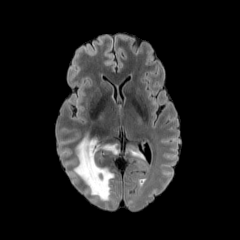
FLAIR magnetic resonance.
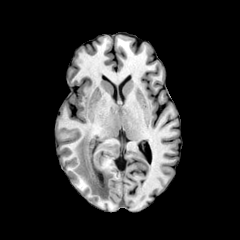
T1-weighted MRI of the same slice.
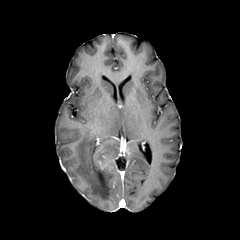
Same slice, post-contrast T1-weighted MRI.
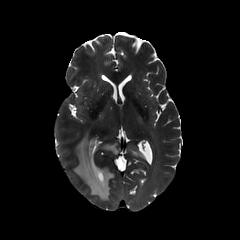
T2-weighted magnetic resonance of the same slice.
240x240; Brain
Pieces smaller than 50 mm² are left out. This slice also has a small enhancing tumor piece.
The 2 largest peritumoral edema regions are located at (127,146,144,158), (73,134,119,201).